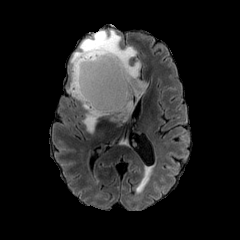
FLAIR MR image.
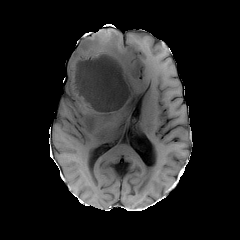
T1-weighted magnetic resonance of the same slice.
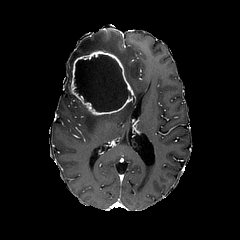
Post-contrast T1-weighted magnetic resonance.
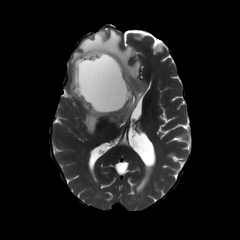
Same slice, T2-weighted MR image.
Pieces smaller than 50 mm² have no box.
<segmentation>
  <peritumoral_edema>(x1=67, y1=29, x2=147, y2=132)</peritumoral_edema>
  <enhancing_tumor>(x1=71, y1=50, x2=133, y2=115)</enhancing_tumor>
  <necrotic_tumor_core>(x1=74, y1=54, x2=129, y2=111)</necrotic_tumor_core>
</segmentation>